FLAIR magnetic resonance.
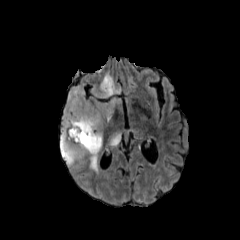
T1-weighted MRI.
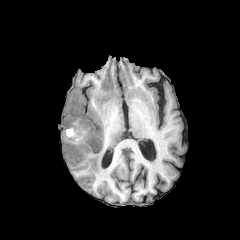
Post-contrast T1-weighted MR image.
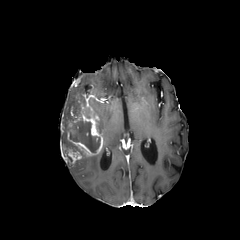
T2-weighted magnetic resonance.
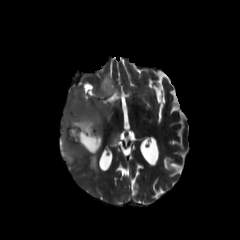
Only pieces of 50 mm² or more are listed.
{"necrotic_tumor_core": ["(62,139,78,150)", "(65,118,100,152)"], "enhancing_tumor": ["(60,94,103,165)"], "peritumoral_edema": ["(88,148,104,173)", "(63,73,122,136)", "(108,130,121,148)"]}